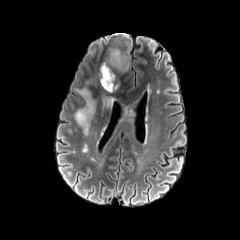
FLAIR MR image.
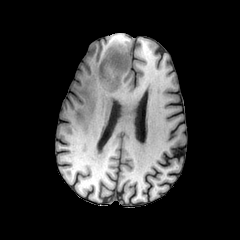
Same slice, T1-weighted MR.
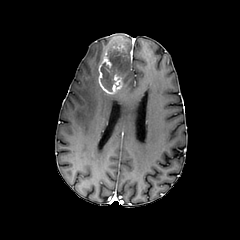
Post-contrast T1-weighted MRI of the same slice.
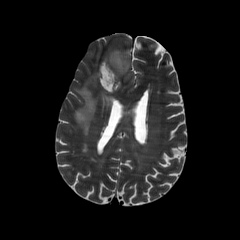
T2-weighted magnetic resonance.
Head. 240x240 px.
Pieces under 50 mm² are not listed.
enhancing tumor: rect(98, 52, 122, 94) | peritumoral edema: rect(102, 91, 114, 108); rect(107, 47, 128, 76); rect(74, 88, 96, 135) | necrotic tumor core: rect(101, 63, 114, 91)